Image size 240x240. Slice 73/155.
FLAIR MR.
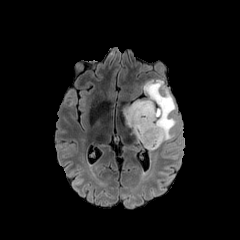
T1-weighted MR image.
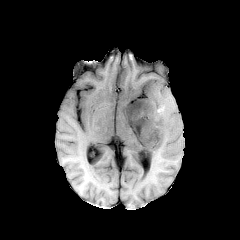
Post-contrast T1-weighted MR.
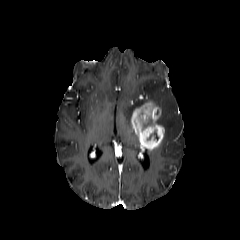
T2-weighted MR.
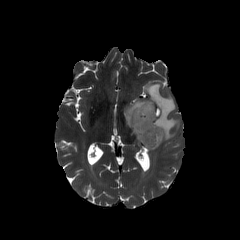
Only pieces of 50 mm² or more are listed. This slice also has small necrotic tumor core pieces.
<segmentation>
  <enhancing_tumor>left=129, top=101, right=164, bottom=150</enhancing_tumor>
  <peritumoral_edema>left=124, top=79, right=180, bottom=142</peritumoral_edema>
</segmentation>